FLAIR MR.
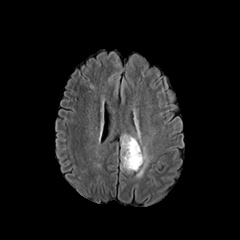
T1-weighted magnetic resonance.
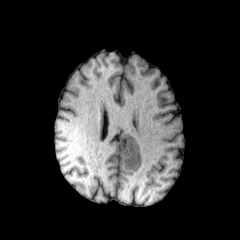
Post-contrast T1-weighted MR.
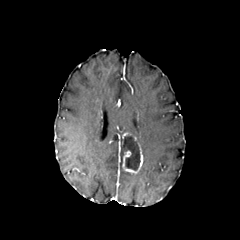
T2-weighted MR image.
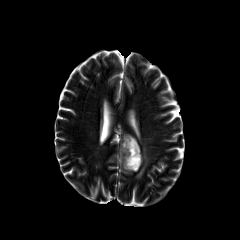
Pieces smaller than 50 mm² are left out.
enhancing_tumor:
  - box(122, 142, 143, 173)
necrotic_tumor_core:
  - box(122, 136, 140, 170)
peritumoral_edema:
  - box(136, 145, 149, 177)